FLAIR MR.
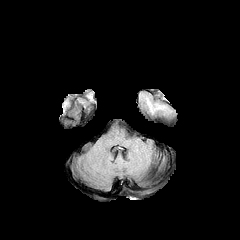
T1-weighted MR.
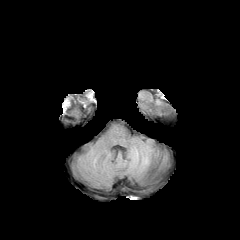
Post-contrast T1-weighted magnetic resonance.
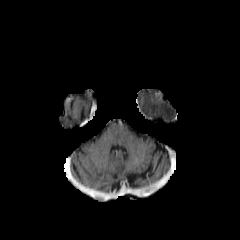
T2-weighted MRI.
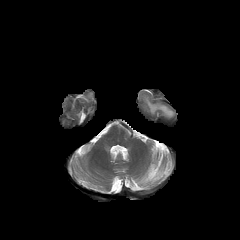
Brain, Axial plane, 240x240 px
peritumoral edema at (143,96,173,115)